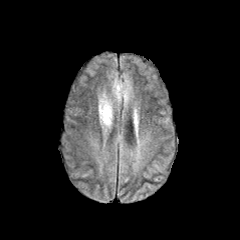
FLAIR magnetic resonance.
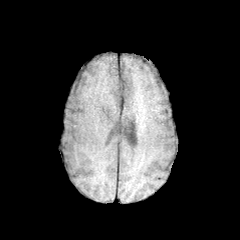
Same slice, T1-weighted magnetic resonance.
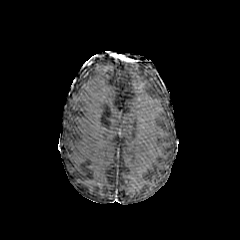
Post-contrast T1-weighted magnetic resonance of the same slice.
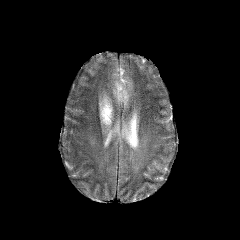
Same slice, T2-weighted MR image.
Axial plane.
peritumoral edema: l=98, t=92, r=112, b=127; l=113, t=79, r=129, b=101